240x240. Axial view.
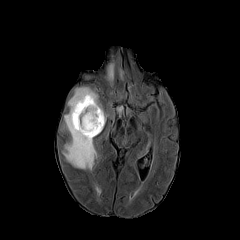
FLAIR MR.
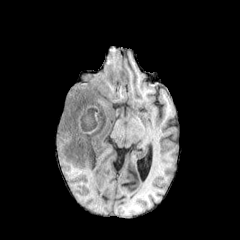
T1-weighted MR image.
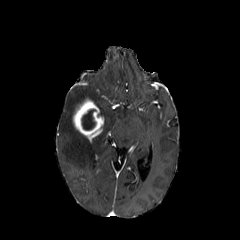
Post-contrast T1-weighted magnetic resonance.
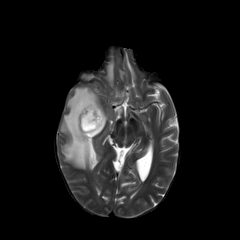
T2-weighted magnetic resonance of the same slice.
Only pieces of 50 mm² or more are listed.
enhancing tumor: <box>73,98,104,141</box>
peritumoral edema: <box>62,86,107,170</box>, <box>106,62,114,85</box>
necrotic tumor core: <box>82,109,96,130</box>